FLAIR MRI.
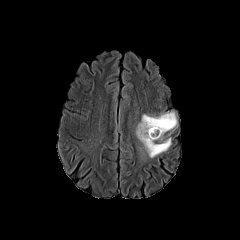
T1-weighted magnetic resonance.
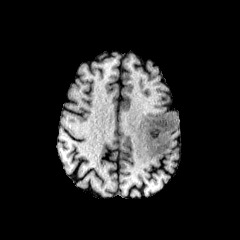
Post-contrast T1-weighted MRI.
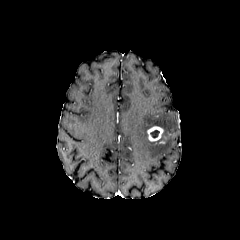
T2-weighted MR.
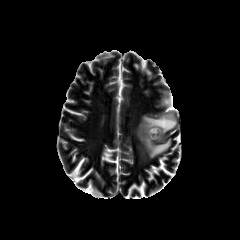
Image size 240x240, Brain
{
  "necrotic_tumor_core": [
    "[150,130,159,137]"
  ],
  "enhancing_tumor": [
    "[147,126,163,141]"
  ],
  "peritumoral_edema": [
    "[136,112,177,157]"
  ]
}